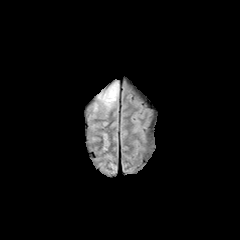
FLAIR MR.
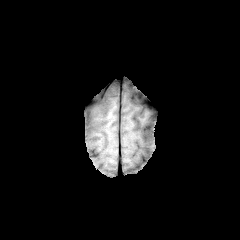
T1-weighted MR.
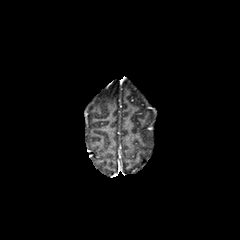
Post-contrast T1-weighted MRI.
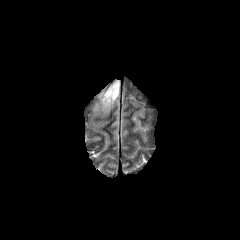
T2-weighted magnetic resonance.
Brain. Axial view. 240x240.
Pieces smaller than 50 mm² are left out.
Findings:
- peritumoral edema: (left=98, top=81, right=119, bottom=109)